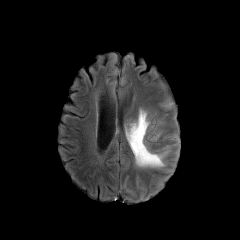
FLAIR MR.
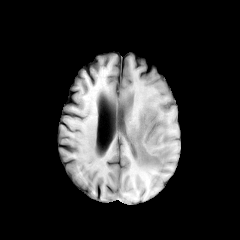
T1-weighted MRI of the same slice.
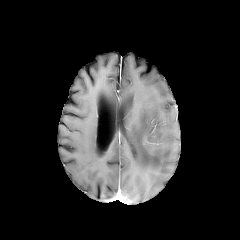
Same slice, post-contrast T1-weighted MR image.
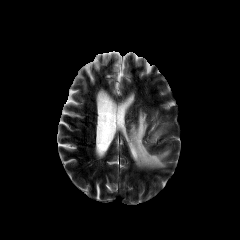
Same slice, T2-weighted MRI.
Brain
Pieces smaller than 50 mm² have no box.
peritumoral edema: <box>126,110,168,167</box>